Axial view.
FLAIR MR image.
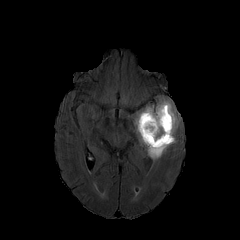
T1-weighted MR image.
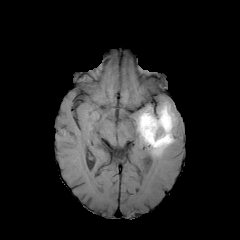
Post-contrast T1-weighted MRI.
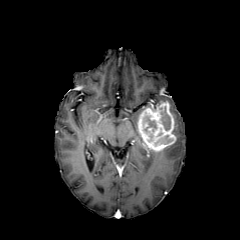
T2-weighted MR image.
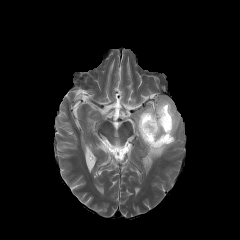
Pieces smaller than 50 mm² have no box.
necrotic tumor core: [161, 107, 170, 130], [155, 135, 171, 144], [143, 116, 156, 131]
enhancing tumor: [137, 101, 175, 151]
peritumoral edema: [146, 146, 169, 160], [157, 97, 181, 134], [134, 109, 144, 144]